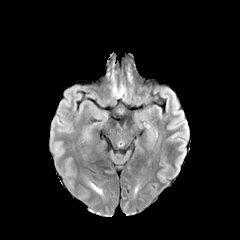
FLAIR MR.
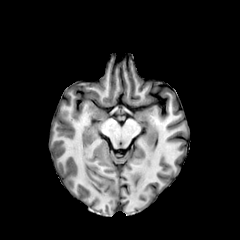
Same slice, T1-weighted MRI.
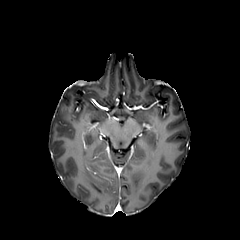
Post-contrast T1-weighted MRI.
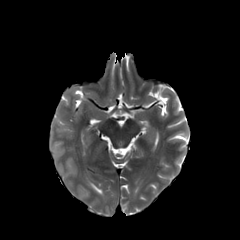
T2-weighted MR.
Head
peritumoral edema: <box>89,182,102,194</box>